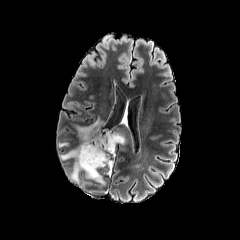
FLAIR magnetic resonance.
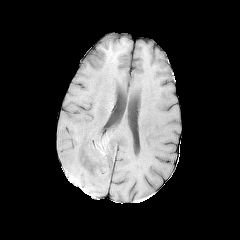
T1-weighted magnetic resonance.
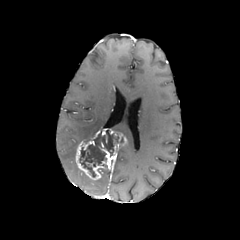
Post-contrast T1-weighted MR image.
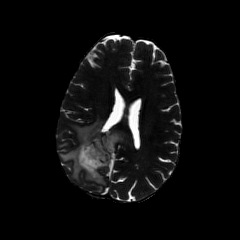
T2-weighted MRI.
Axial plane
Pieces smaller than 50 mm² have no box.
The enhancing tumor appears at (left=75, top=130, right=126, bottom=180). The largest necrotic tumor core region appears at (left=79, top=133, right=113, bottom=177). The 2 largest peritumoral edema regions are bounded by (left=76, top=117, right=103, bottom=141), (left=60, top=148, right=80, bottom=181).